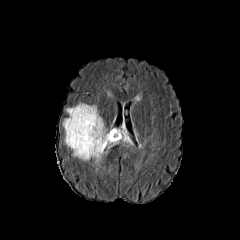
FLAIR MRI.
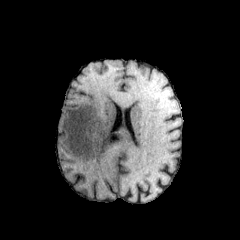
T1-weighted MR of the same slice.
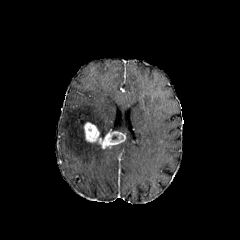
Post-contrast T1-weighted MR.
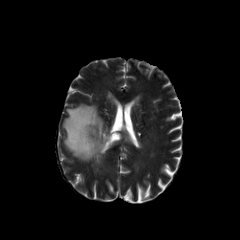
T2-weighted magnetic resonance.
Axial view
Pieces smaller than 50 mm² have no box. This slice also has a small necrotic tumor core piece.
The enhancing tumor appears at region(83, 122, 125, 148). The 2 largest peritumoral edema regions appear at region(63, 103, 109, 172); region(112, 125, 134, 145).